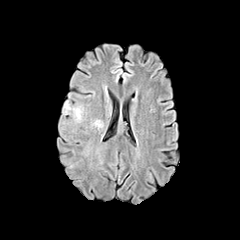
FLAIR MR image.
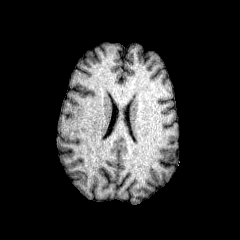
T1-weighted MRI.
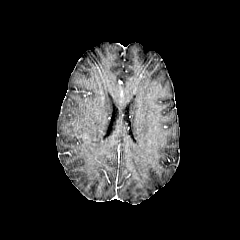
Post-contrast T1-weighted MR image.
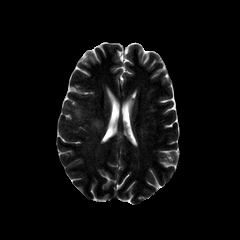
T2-weighted MR image.
240x240; Axial plane
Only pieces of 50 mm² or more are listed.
The 2 largest peritumoral edema regions are bounded by <bbox>64, 102, 83, 122</bbox>, <bbox>93, 120, 102, 128</bbox>.